Brain; Axial slice; Image width 240 mm; Slice 120/155
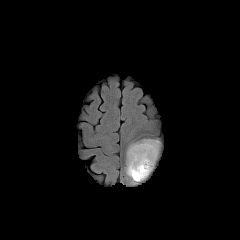
FLAIR MRI.
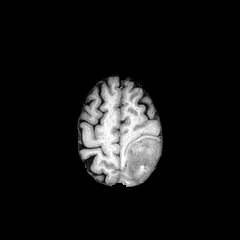
Same slice, T1-weighted MR.
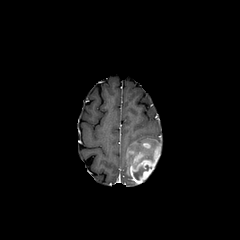
Post-contrast T1-weighted magnetic resonance of the same slice.
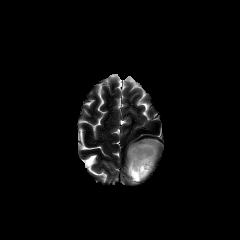
Same slice, T2-weighted MR image.
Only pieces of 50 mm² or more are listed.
necrotic tumor core: 142:150:152:160, 134:165:148:179
peritumoral edema: 126:139:159:154
enhancing tumor: 127:143:160:183